Axial plane | Head | Slice index 82 | Image size 240x240
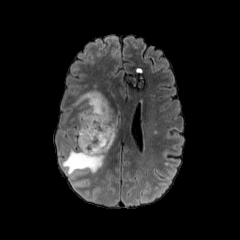
FLAIR MRI.
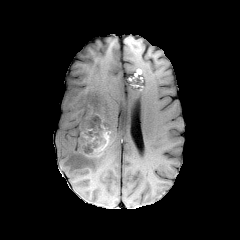
Same slice, T1-weighted magnetic resonance.
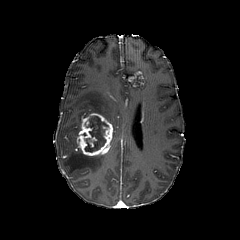
Same slice, post-contrast T1-weighted MR image.
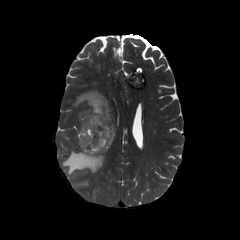
T2-weighted magnetic resonance.
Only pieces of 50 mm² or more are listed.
peritumoral edema: [x1=62, y1=149, x2=105, y2=175], [x1=72, y1=90, x2=121, y2=145]
necrotic tumor core: [x1=84, y1=116, x2=109, y2=152]
enhancing tumor: [x1=77, y1=113, x2=113, y2=156]